Brain. Axial plane.
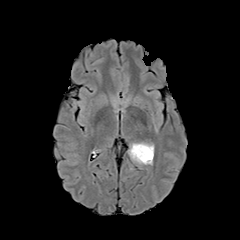
FLAIR MR image.
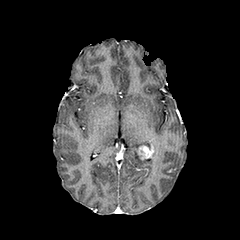
Same slice, T1-weighted MRI.
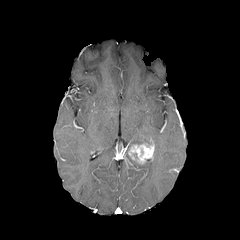
Post-contrast T1-weighted MRI.
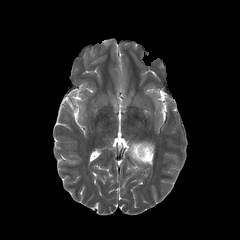
Same slice, T2-weighted magnetic resonance.
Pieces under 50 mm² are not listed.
Findings:
• enhancing tumor: 128,143,154,163
• peritumoral edema: 132,160,152,165